FLAIR MR.
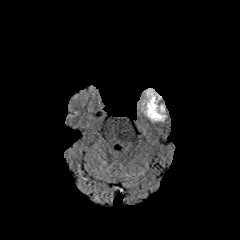
T1-weighted MR.
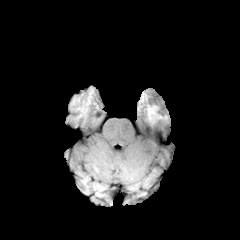
Post-contrast T1-weighted MRI.
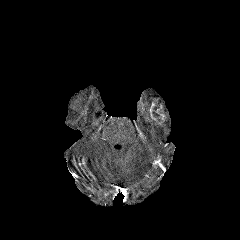
T2-weighted MR.
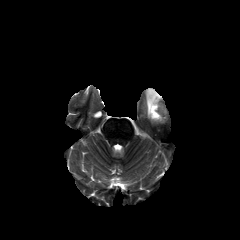
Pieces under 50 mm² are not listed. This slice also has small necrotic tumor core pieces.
peritumoral_edema:
  - box(137, 88, 167, 123)
enhancing_tumor:
  - box(149, 98, 165, 123)